Image width 240 mm | Brain
FLAIR MR image.
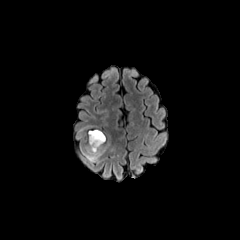
T1-weighted MR image.
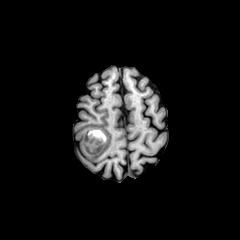
Post-contrast T1-weighted MR image.
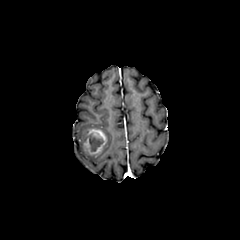
T2-weighted MR image.
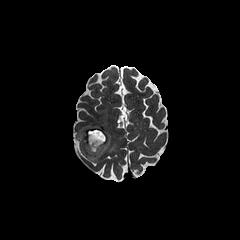
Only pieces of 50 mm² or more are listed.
peritumoral edema — rect(78, 125, 91, 137); rect(82, 142, 109, 161)
necrotic tumor core — rect(89, 133, 103, 151)
enhancing tumor — rect(83, 129, 106, 156)